Head. Slice 128 of 155. Axial slice. 240x240.
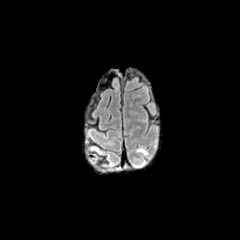
FLAIR MR.
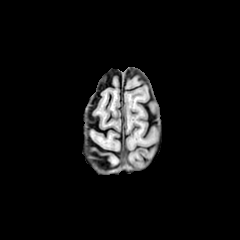
T1-weighted magnetic resonance.
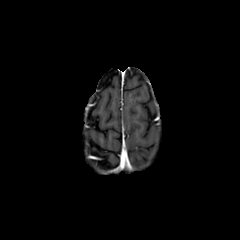
Post-contrast T1-weighted MR.
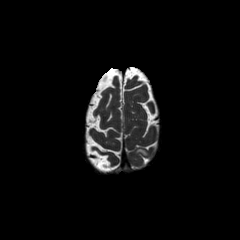
T2-weighted MR image of the same slice.
peritumoral edema: left=137, top=148, right=148, bottom=155